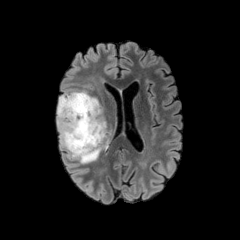
FLAIR MRI.
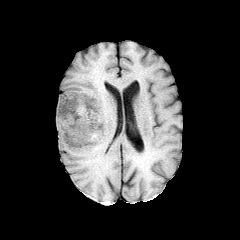
Same slice, T1-weighted MR image.
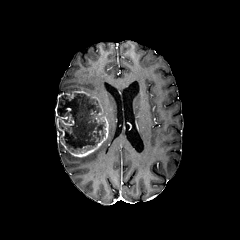
Post-contrast T1-weighted MR image.
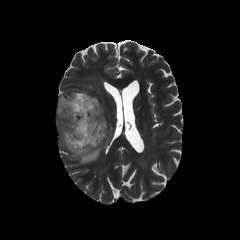
T2-weighted MRI.
240x240; Axial view
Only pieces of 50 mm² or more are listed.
The largest enhancing tumor region is located at [56,90,108,157]. The largest peritumoral edema region is located at [66,130,111,163]. The largest necrotic tumor core region is located at [58,93,105,152].